Slice 71/155; Axial plane; Image covers 240 mm x 240 mm; Head
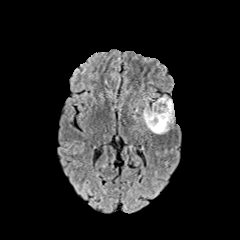
FLAIR magnetic resonance.
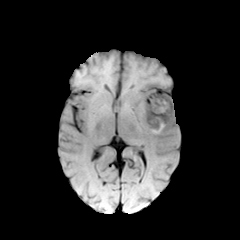
Same slice, T1-weighted MR.
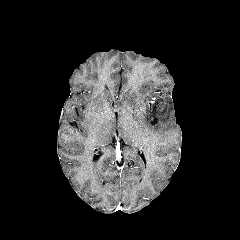
Post-contrast T1-weighted MR.
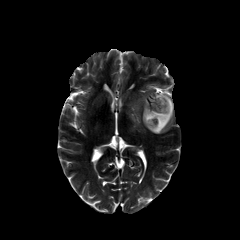
T2-weighted MRI of the same slice.
The peritumoral edema lies within box=[142, 95, 174, 133]. The necrotic tumor core is at box=[150, 101, 164, 123].